240x240 px, Slice 66/155, Head
FLAIR MRI.
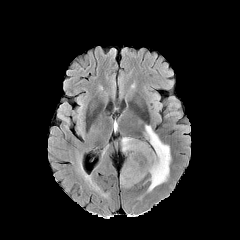
T1-weighted MR image.
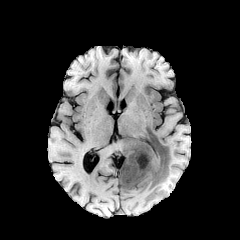
Post-contrast T1-weighted MR.
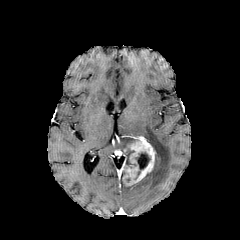
T2-weighted magnetic resonance.
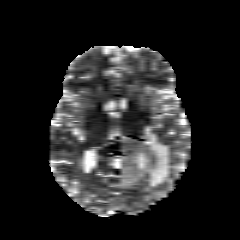
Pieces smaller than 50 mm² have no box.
{"peritumoral_edema": ["122:137:135:165", "144:125:170:191"], "enhancing_tumor": ["121:137:155:186"], "necrotic_tumor_core": ["135:153:150:169"]}